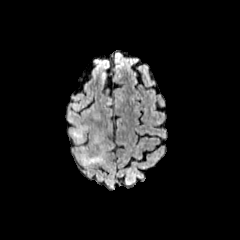
FLAIR MR.
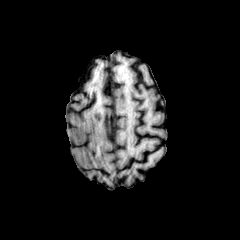
Same slice, T1-weighted MRI.
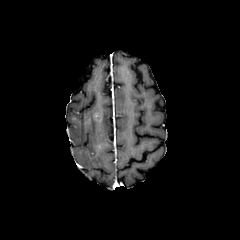
Post-contrast T1-weighted MRI.
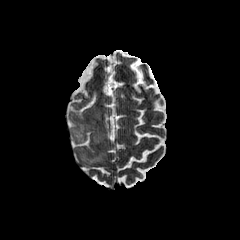
T2-weighted MRI.
Axial view | Brain
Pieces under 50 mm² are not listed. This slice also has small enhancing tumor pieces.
{
  "peritumoral_edema": [
    "69 118 88 142",
    "79 152 103 165"
  ]
}